Image size 240x240. Brain.
FLAIR magnetic resonance.
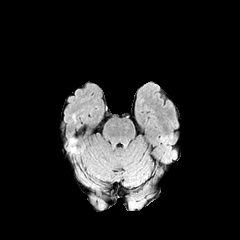
T1-weighted MR.
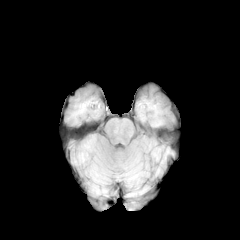
Post-contrast T1-weighted MR image.
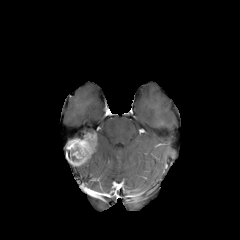
T2-weighted MR.
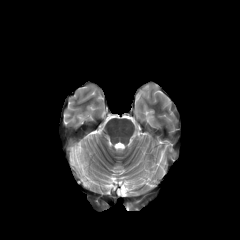
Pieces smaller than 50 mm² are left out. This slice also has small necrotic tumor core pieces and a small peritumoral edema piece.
{"enhancing_tumor": [{"x1": 66, "y1": 133, "x2": 94, "y2": 165}]}